Slice 82/155 | 240x240 px | Axial view
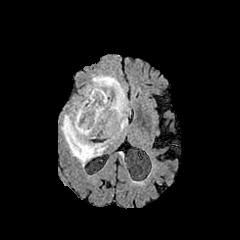
FLAIR MR.
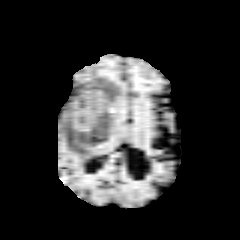
T1-weighted MR of the same slice.
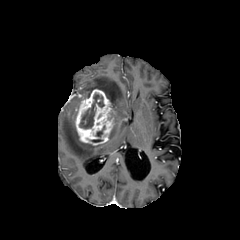
Post-contrast T1-weighted magnetic resonance.
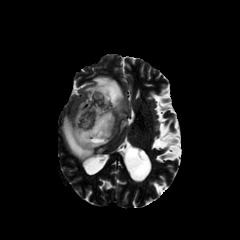
T2-weighted MR.
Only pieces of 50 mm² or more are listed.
The largest peritumoral edema region lies within left=61, top=75, right=130, bottom=166. The largest necrotic tumor core region is at left=79, top=94, right=104, bottom=128. The largest enhancing tumor region lies within left=75, top=89, right=114, bottom=145.